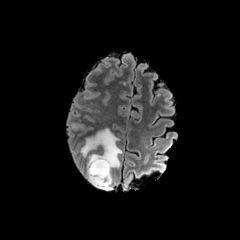
FLAIR MR image.
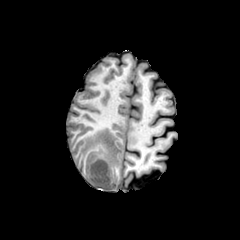
Same slice, T1-weighted MR image.
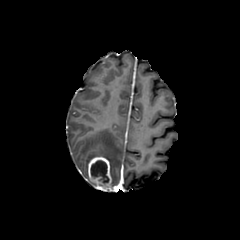
Post-contrast T1-weighted MR.
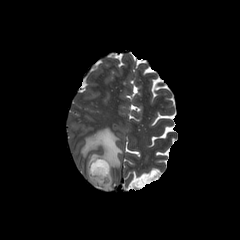
T2-weighted MR.
Brain
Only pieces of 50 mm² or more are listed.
Findings:
• peritumoral edema: 80, 128, 122, 187
• enhancing tumor: 88, 156, 113, 191
• necrotic tumor core: 90, 160, 109, 183